FLAIR magnetic resonance.
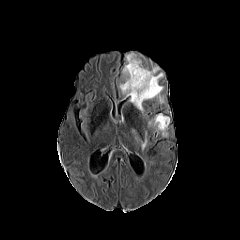
T1-weighted MRI.
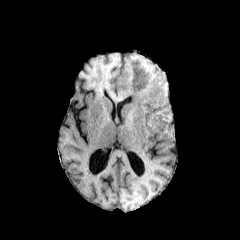
Post-contrast T1-weighted MR.
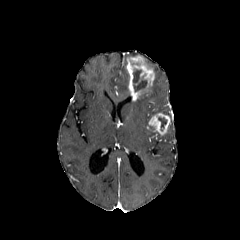
T2-weighted magnetic resonance.
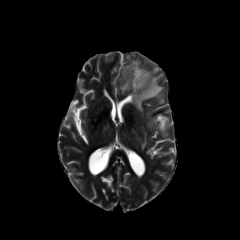
Brain. 240x240 px. Axial plane.
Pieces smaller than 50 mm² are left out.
Annotated regions:
• peritumoral edema: [x1=120, y1=65, x2=130, y2=96], [x1=131, y1=129, x2=147, y2=149], [x1=130, y1=73, x2=164, y2=113]
• necrotic tumor core: [x1=158, y1=117, x2=166, y2=130], [x1=133, y1=69, x2=147, y2=91]
• enhancing tumor: [x1=126, y1=55, x2=154, y2=100], [x1=148, y1=113, x2=170, y2=136]